FLAIR MR image.
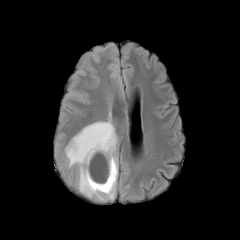
T1-weighted MR.
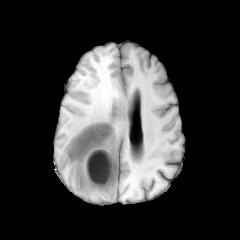
Post-contrast T1-weighted MRI.
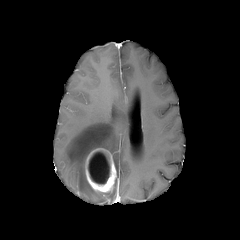
T2-weighted MR image.
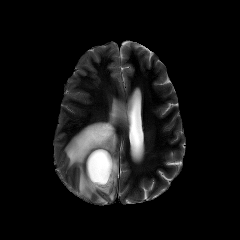
peritumoral edema: l=65, t=119, r=117, b=201 | necrotic tumor core: l=88, t=151, r=110, b=184 | enhancing tumor: l=85, t=148, r=116, b=192